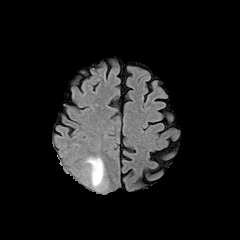
FLAIR MR image.
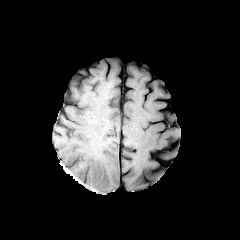
T1-weighted magnetic resonance of the same slice.
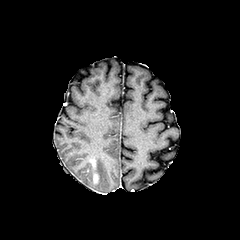
Same slice, post-contrast T1-weighted MR.
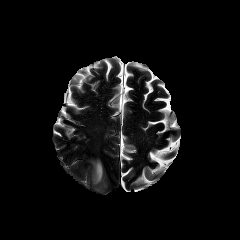
T2-weighted MR image of the same slice.
Brain. 240x240. Axial slice.
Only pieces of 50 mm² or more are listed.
peritumoral edema: bbox(86, 157, 106, 190) | enhancing tumor: bbox(93, 173, 98, 183)